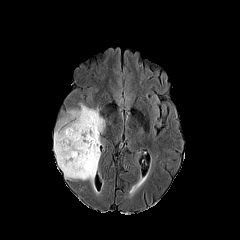
FLAIR MRI.
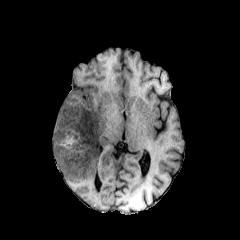
T1-weighted magnetic resonance.
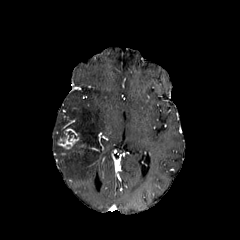
Same slice, post-contrast T1-weighted MR image.
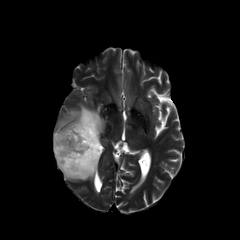
T2-weighted MRI.
Axial slice
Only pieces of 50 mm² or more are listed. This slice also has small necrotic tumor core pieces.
• peritumoral edema: bbox(54, 104, 105, 180)
• enhancing tumor: bbox(57, 128, 79, 149)